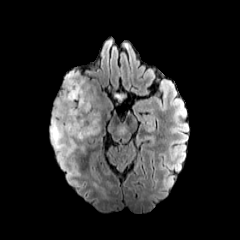
FLAIR MR image.
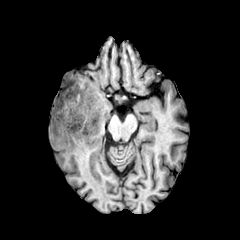
T1-weighted MRI.
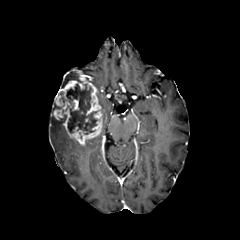
Post-contrast T1-weighted magnetic resonance.
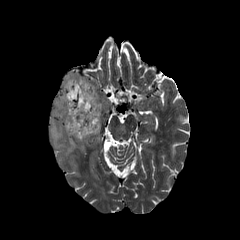
Same slice, T2-weighted magnetic resonance.
Brain
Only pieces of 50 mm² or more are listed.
peritumoral edema at 64 72 79 84, 50 115 77 155
enhancing tumor at 53 75 102 145
necrotic tumor core at 66 84 96 134